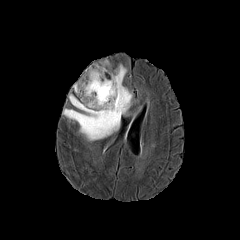
FLAIR magnetic resonance.
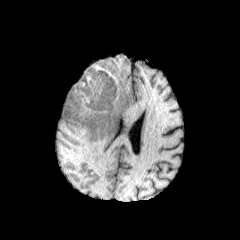
Same slice, T1-weighted MR image.
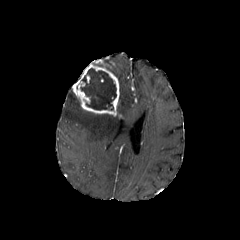
Same slice, post-contrast T1-weighted MRI.
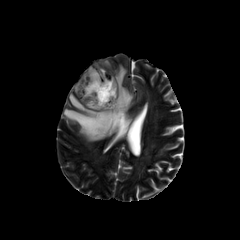
Same slice, T2-weighted MR.
240x240. Axial view. Brain.
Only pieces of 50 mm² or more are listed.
peritumoral_edema:
  - box=[63, 64, 132, 141]
necrotic_tumor_core:
  - box=[80, 68, 116, 110]
enhancing_tumor:
  - box=[72, 63, 119, 116]